Head, 240x240 px
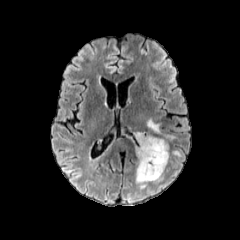
FLAIR MR image.
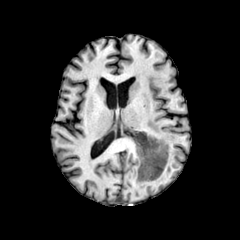
T1-weighted MR.
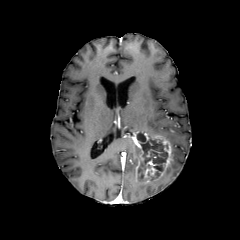
Post-contrast T1-weighted MR image.
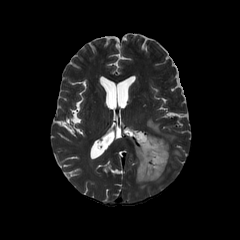
Same slice, T2-weighted MRI.
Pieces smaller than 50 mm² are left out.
Annotated regions:
* enhancing tumor: x1=135, y1=131, x2=172, y2=183
* necrotic tumor core: x1=137, y1=134, x2=167, y2=178
* peritumoral edema: x1=147, y1=119, x2=176, y2=141; x1=172, y1=150, x2=182, y2=157